Slice 95 of 155; 240x240 px; Axial slice
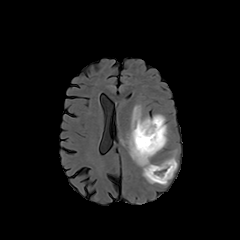
FLAIR magnetic resonance.
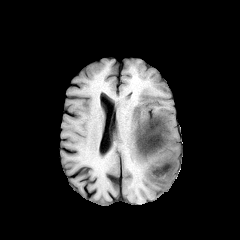
T1-weighted MR image.
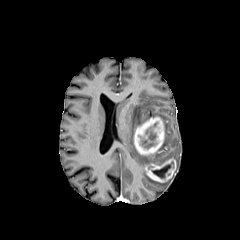
Post-contrast T1-weighted MRI.
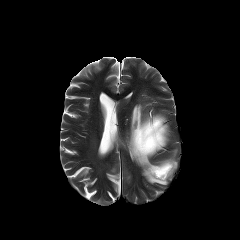
Same slice, T2-weighted MRI.
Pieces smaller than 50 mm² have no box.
necrotic tumor core — {"x1": 152, "y1": 162, "x2": 173, "y2": 178}
enhancing tumor — {"x1": 145, "y1": 158, "x2": 176, "y2": 182}, {"x1": 134, "y1": 116, "x2": 165, "y2": 156}
peritumoral edema — {"x1": 122, "y1": 104, "x2": 169, "y2": 185}